Axial slice. Head. Slice index 58.
FLAIR magnetic resonance.
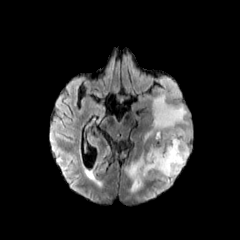
T1-weighted MRI.
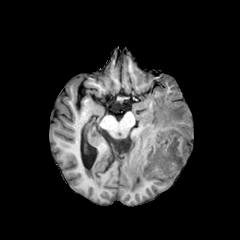
Post-contrast T1-weighted MR image.
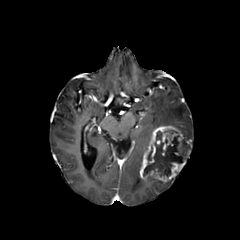
T2-weighted MR.
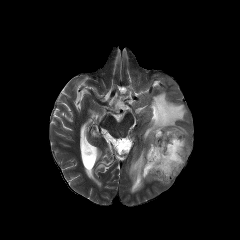
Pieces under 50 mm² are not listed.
{
  "necrotic_tumor_core": [
    "[143,130,183,176]",
    "[147,145,152,160]"
  ],
  "peritumoral_edema": [
    "[144,94,191,152]",
    "[162,178,174,189]",
    "[125,148,145,192]"
  ],
  "enhancing_tumor": [
    "[139,125,190,182]"
  ]
}